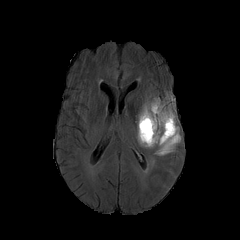
FLAIR MR.
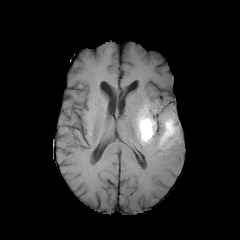
T1-weighted MRI.
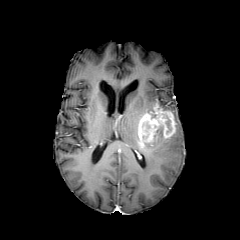
Post-contrast T1-weighted MR.
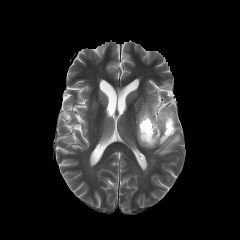
T2-weighted MR.
Brain
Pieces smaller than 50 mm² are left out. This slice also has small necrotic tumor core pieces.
The 2 largest peritumoral edema regions are located at region(137, 98, 175, 141); region(143, 126, 181, 155). The enhancing tumor is at region(138, 101, 175, 146).